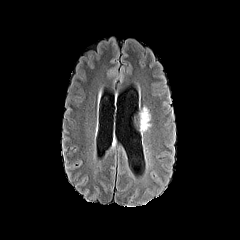
FLAIR MR.
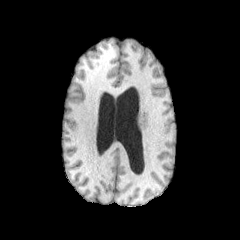
T1-weighted magnetic resonance of the same slice.
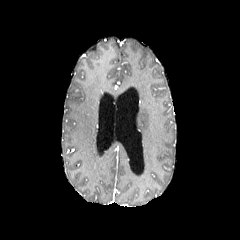
Post-contrast T1-weighted MRI.
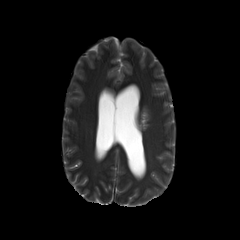
Same slice, T2-weighted magnetic resonance.
Head
peritumoral edema: x1=140 y1=107 x2=150 y2=132